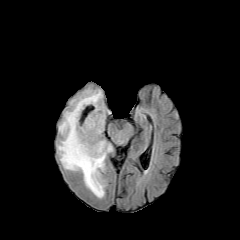
FLAIR MR image.
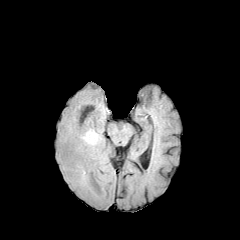
T1-weighted magnetic resonance of the same slice.
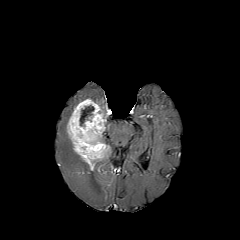
Same slice, post-contrast T1-weighted MR image.
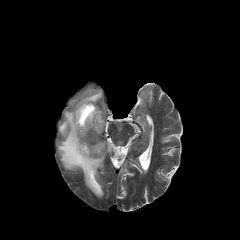
T2-weighted MR image.
Axial slice, Image size 240x240
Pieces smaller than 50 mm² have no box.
The necrotic tumor core is bounded by bbox(79, 105, 94, 125). The largest enhancing tumor region is located at bbox(67, 98, 110, 170). The 2 largest peritumoral edema regions appear at bbox(56, 87, 106, 198); bbox(100, 140, 113, 152).